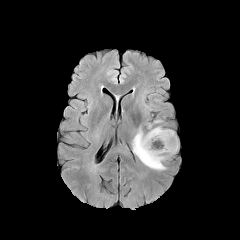
FLAIR magnetic resonance.
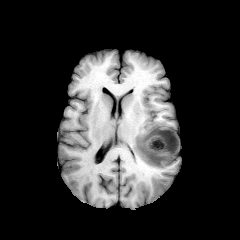
T1-weighted MRI of the same slice.
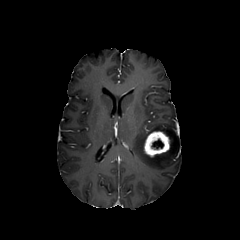
Post-contrast T1-weighted MRI.
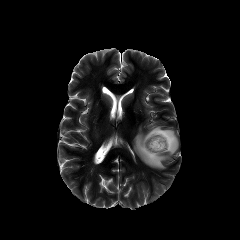
T2-weighted MR.
Head | 240x240 px
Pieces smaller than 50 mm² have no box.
enhancing tumor: bounding box x1=144 y1=131 x2=170 y2=157
peritumoral edema: bounding box x1=132 y1=126 x2=178 y2=169
necrotic tumor core: bounding box x1=152 y1=139 x2=163 y2=149